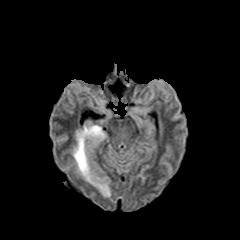
FLAIR MR image.
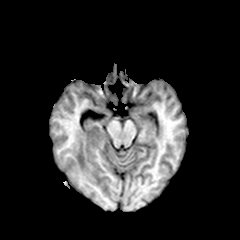
T1-weighted MRI.
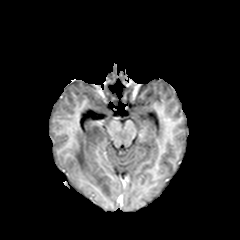
Post-contrast T1-weighted MR image.
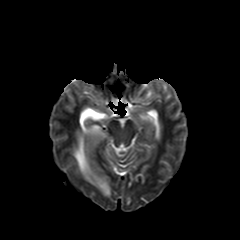
Same slice, T2-weighted MR.
peritumoral edema at bbox(73, 125, 110, 196)